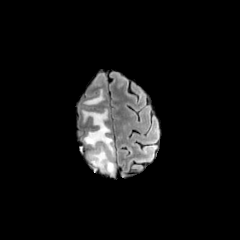
FLAIR MR.
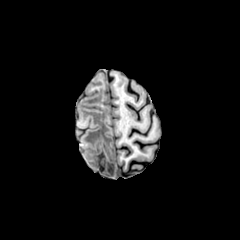
T1-weighted MRI.
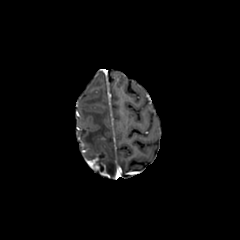
Post-contrast T1-weighted magnetic resonance.
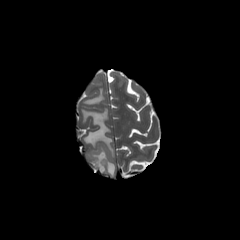
T2-weighted MRI.
Head
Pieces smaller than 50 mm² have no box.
necrotic tumor core: <bbox>97, 154, 104, 170</bbox>
peritumoral edema: <bbox>84, 89, 104, 104</bbox>, <bbox>82, 109, 115, 175</bbox>
enhancing tumor: <bbox>86, 151, 106, 171</bbox>